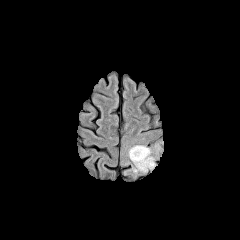
FLAIR MR image.
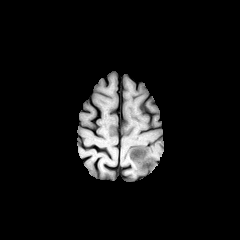
T1-weighted MRI of the same slice.
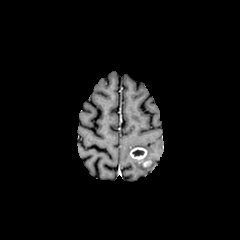
Post-contrast T1-weighted MRI.
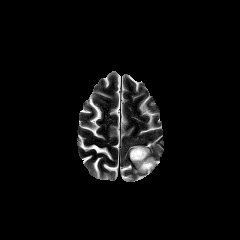
T2-weighted MR image.
Head | Image size 240x240 | Axial slice
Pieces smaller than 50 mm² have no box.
Segmented structures:
* enhancing tumor: (130,147,151,167)
* peritumoral edema: (128,145,155,173)
* necrotic tumor core: (132,150,144,156)